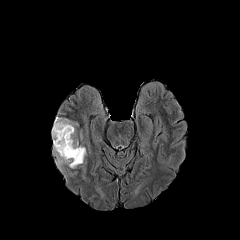
FLAIR MR.
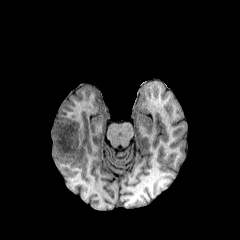
Same slice, T1-weighted magnetic resonance.
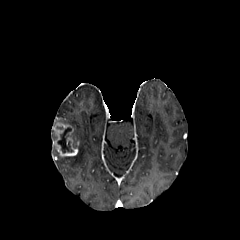
Post-contrast T1-weighted magnetic resonance.
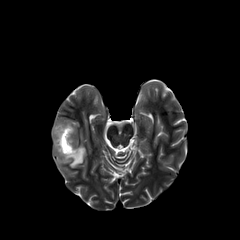
T2-weighted MR of the same slice.
Axial view
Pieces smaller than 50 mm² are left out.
The largest enhancing tumor region appears at region(51, 117, 78, 156). The largest peritumoral edema region lies within region(53, 145, 86, 169). The largest necrotic tumor core region lies within region(57, 127, 73, 152).